Slice index 36 | Brain | 240x240 px
FLAIR magnetic resonance.
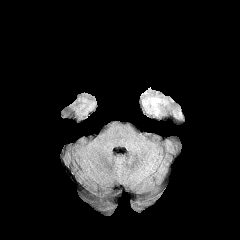
T1-weighted MRI.
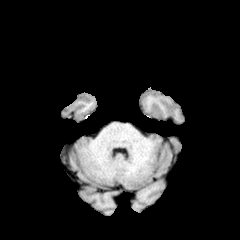
Post-contrast T1-weighted MR image.
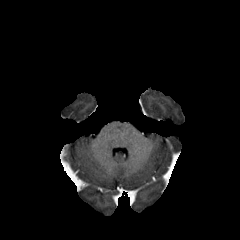
T2-weighted magnetic resonance.
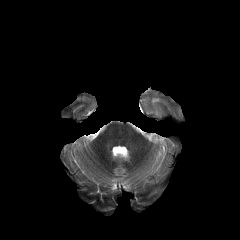
The peritumoral edema appears at bbox=[151, 98, 160, 114].